Head, Axial plane
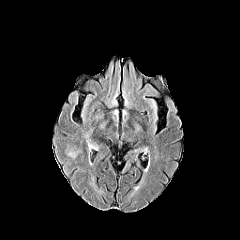
FLAIR magnetic resonance.
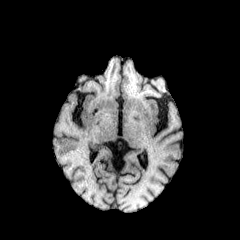
T1-weighted MR.
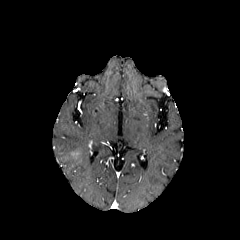
Post-contrast T1-weighted MR of the same slice.
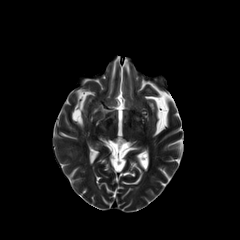
Same slice, T2-weighted magnetic resonance.
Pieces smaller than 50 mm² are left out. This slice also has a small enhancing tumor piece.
The largest peritumoral edema region is at (left=65, top=144, right=76, bottom=160).